Slice index 102 | 240x240 | Brain | Axial slice
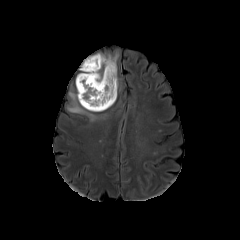
FLAIR MR.
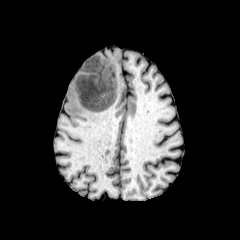
Same slice, T1-weighted MR.
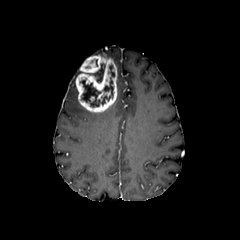
Post-contrast T1-weighted magnetic resonance.
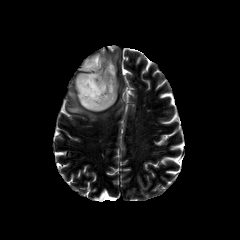
T2-weighted MR.
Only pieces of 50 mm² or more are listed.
The largest necrotic tumor core region is at [80,65,114,107]. The largest enhancing tumor region is bounded by [76,55,117,112]. The 3 largest peritumoral edema regions are bounded by [67,90,98,121], [106,52,118,66], [87,63,105,82].